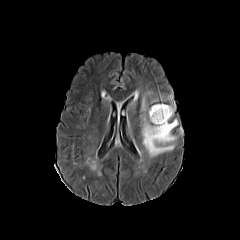
FLAIR magnetic resonance.
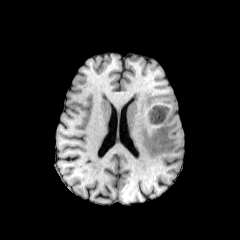
T1-weighted magnetic resonance.
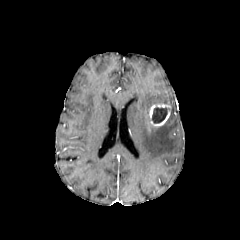
Post-contrast T1-weighted MRI.
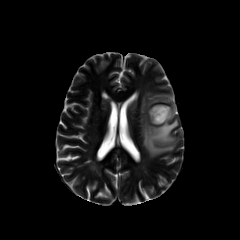
T2-weighted MR.
Image size 240x240
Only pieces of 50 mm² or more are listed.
The largest peritumoral edema region is located at 140 95 178 157. The enhancing tumor lies within 149 104 170 126. The necrotic tumor core appears at 152 107 169 123.